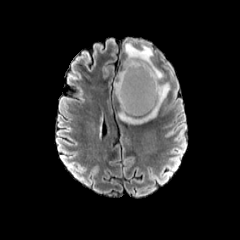
FLAIR MR image.
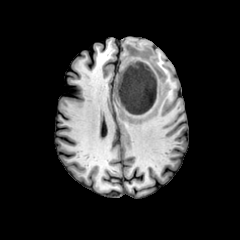
Same slice, T1-weighted MRI.
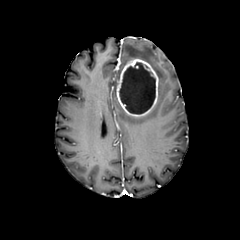
Same slice, post-contrast T1-weighted MR.
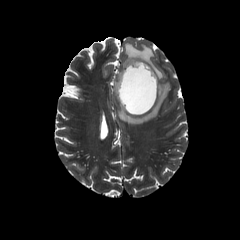
T2-weighted magnetic resonance.
Head
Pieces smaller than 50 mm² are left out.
• necrotic tumor core: 119,62,155,114
• peritumoral edema: 118,83,169,124; 124,42,163,80
• enhancing tumor: 116,58,158,116